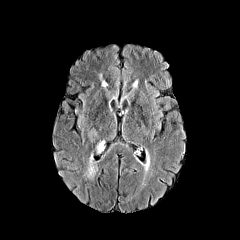
FLAIR MR.
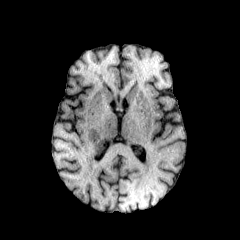
T1-weighted MRI.
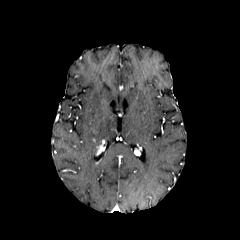
Same slice, post-contrast T1-weighted MR image.
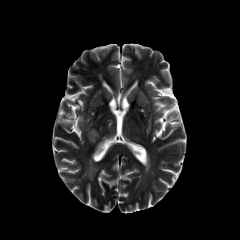
T2-weighted MRI.
Brain. Image size 240x240.
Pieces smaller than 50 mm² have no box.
enhancing tumor at 96:139:106:156
peritumoral edema at 88:129:97:140, 85:157:98:180